Head; Axial plane; Image width 240 mm, 1.00 mm slice spacing
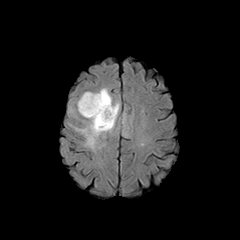
FLAIR MR image.
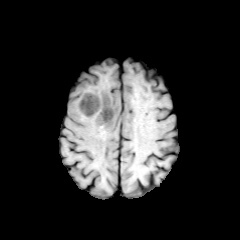
T1-weighted magnetic resonance of the same slice.
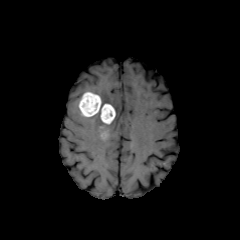
Post-contrast T1-weighted magnetic resonance.
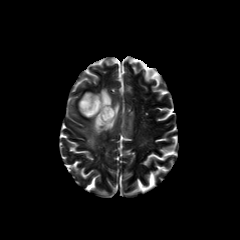
T2-weighted MRI.
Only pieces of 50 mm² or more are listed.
The enhancing tumor is bounded by x1=78 y1=92 x2=115 y2=124. The largest peritumoral edema region is bounded by x1=75 y1=87 x2=119 y2=148. The largest necrotic tumor core region is bounded by x1=82 y1=99 x2=90 y2=111.